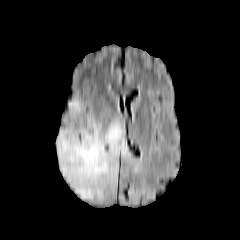
FLAIR MRI.
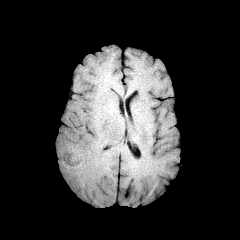
T1-weighted MR image.
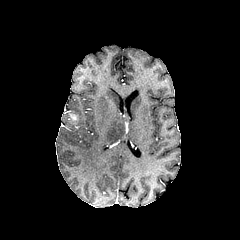
Post-contrast T1-weighted MRI of the same slice.
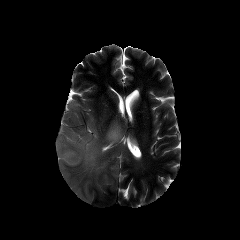
T2-weighted MRI.
Head
The peritumoral edema lies within bbox(56, 99, 129, 201). The enhancing tumor lies within bbox(68, 113, 77, 122).